Brain
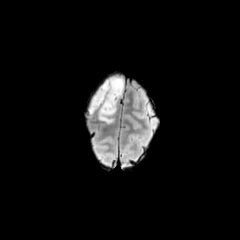
FLAIR magnetic resonance.
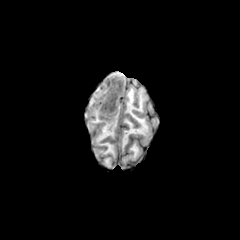
Same slice, T1-weighted MRI.
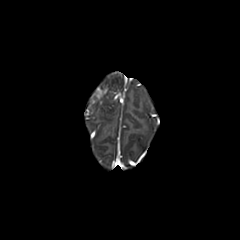
Same slice, post-contrast T1-weighted MRI.
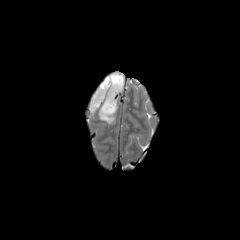
T2-weighted MRI.
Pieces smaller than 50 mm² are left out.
{"peritumoral_edema": ["l=100, t=76, r=123, b=95", "l=91, t=98, r=117, b=123"], "enhancing_tumor": ["l=90, t=86, r=118, b=113"]}